Brain | Slice 79 of 155 | 240x240 | Image covers 240 mm x 240 mm
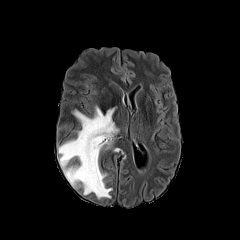
FLAIR MR.
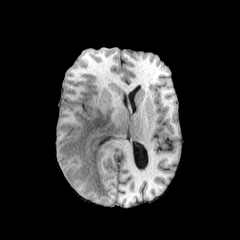
T1-weighted MR.
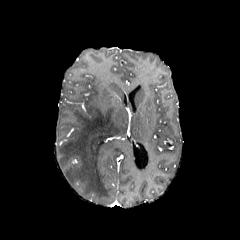
Post-contrast T1-weighted magnetic resonance.
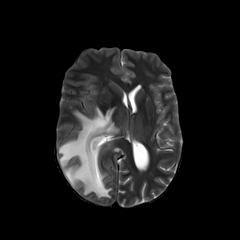
T2-weighted MR.
• peritumoral edema: box=[58, 106, 118, 198]